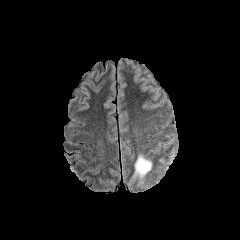
FLAIR MRI.
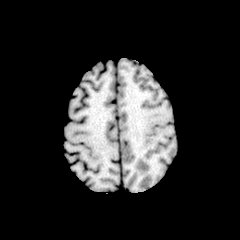
Same slice, T1-weighted MR.
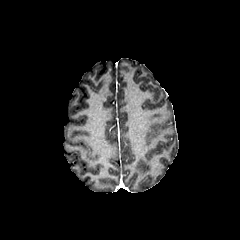
Same slice, post-contrast T1-weighted MR.
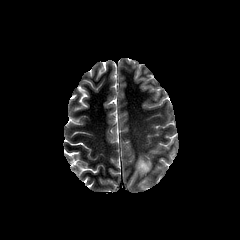
T2-weighted MRI.
The peritumoral edema is at x1=135 y1=156 x2=151 y2=177.